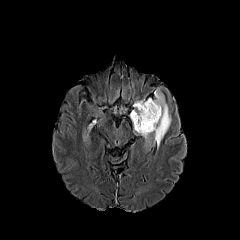
FLAIR MR.
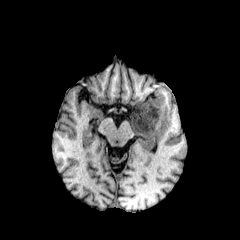
T1-weighted magnetic resonance of the same slice.
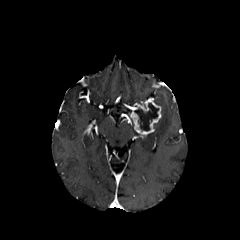
Post-contrast T1-weighted MRI.
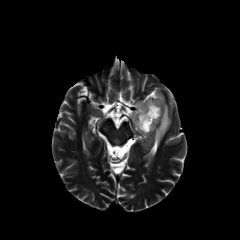
Same slice, T2-weighted MR.
Head
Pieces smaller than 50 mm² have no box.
necrotic tumor core: bounding box rect(134, 103, 158, 130)
peritumoral edema: bounding box rect(144, 89, 171, 148)
enhancing tumor: bounding box rect(130, 98, 161, 136)